FLAIR MRI.
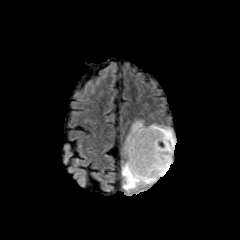
T1-weighted magnetic resonance.
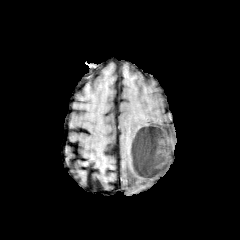
Post-contrast T1-weighted magnetic resonance.
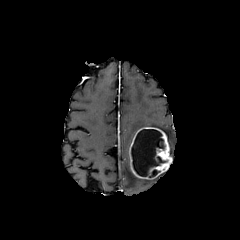
T2-weighted MR.
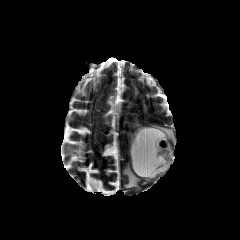
Axial plane
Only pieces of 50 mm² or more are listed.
<segmentation>
  <necrotic_tumor_core>(131,129,165,176)</necrotic_tumor_core>
  <peritumoral_edema>(122,121,175,190)</peritumoral_edema>
  <enhancing_tumor>(129,127,172,179)</enhancing_tumor>
</segmentation>